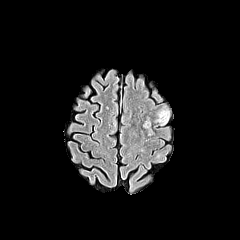
FLAIR MRI.
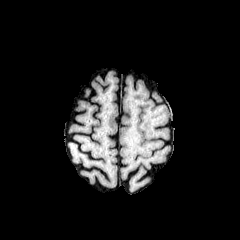
T1-weighted magnetic resonance.
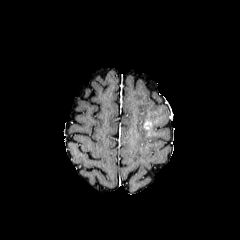
Same slice, post-contrast T1-weighted MR.
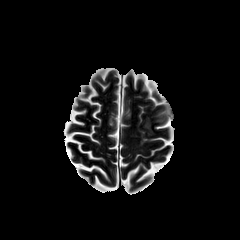
T2-weighted MR image.
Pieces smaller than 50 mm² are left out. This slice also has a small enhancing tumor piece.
Findings:
- peritumoral edema: box=[154, 108, 169, 125]; box=[145, 126, 154, 135]